Axial slice | Head | Image width 240 mm, 1.00 mm slice spacing | 240x240 px
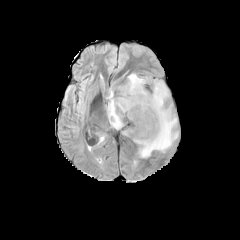
FLAIR MR image.
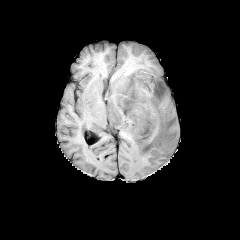
T1-weighted MR.
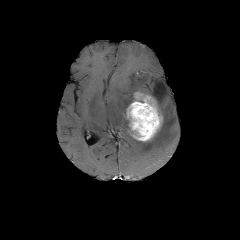
Post-contrast T1-weighted MR image of the same slice.
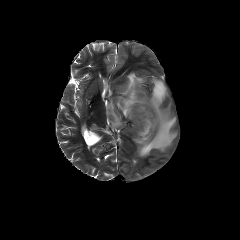
Same slice, T2-weighted MR.
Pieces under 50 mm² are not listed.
The enhancing tumor is located at region(126, 92, 162, 141). The 2 largest peritumoral edema regions are bounded by region(107, 73, 148, 129); region(133, 79, 178, 157).